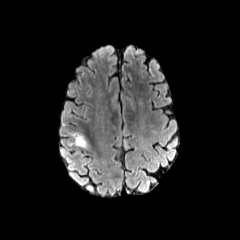
FLAIR MRI.
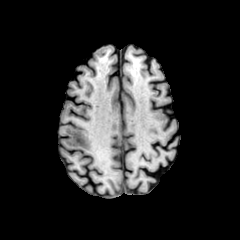
Same slice, T1-weighted MR.
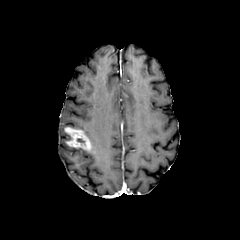
Post-contrast T1-weighted MRI of the same slice.
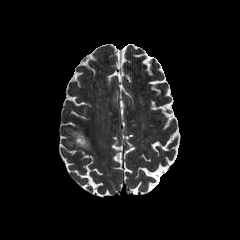
Same slice, T2-weighted MR.
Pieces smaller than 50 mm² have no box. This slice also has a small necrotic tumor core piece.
enhancing tumor — (65,127,91,150)